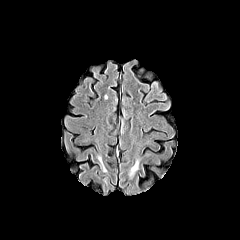
FLAIR MR image.
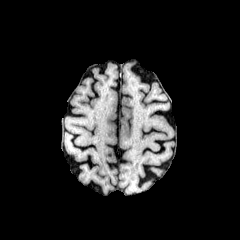
T1-weighted magnetic resonance of the same slice.
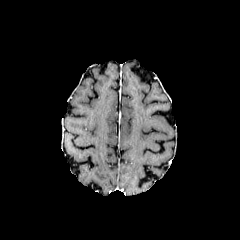
Post-contrast T1-weighted MR image.
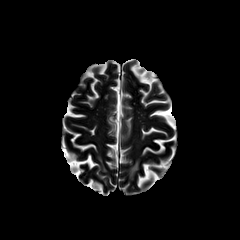
T2-weighted MR image of the same slice.
Brain
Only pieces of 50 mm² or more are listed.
peritumoral edema: bounding box (130, 160, 138, 176)